Image width 240 mm, 1.00 mm slice spacing.
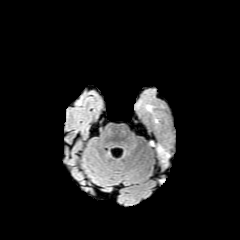
FLAIR MRI.
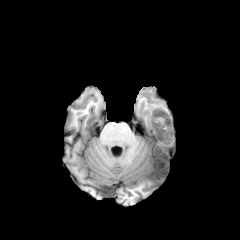
T1-weighted magnetic resonance.
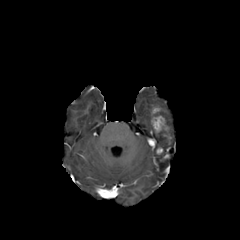
Same slice, post-contrast T1-weighted MRI.
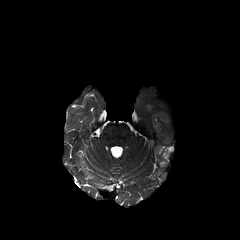
Same slice, T2-weighted MR.
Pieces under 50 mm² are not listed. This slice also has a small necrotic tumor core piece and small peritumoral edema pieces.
Findings:
- enhancing tumor: <bbox>156, 146, 169, 161</bbox>, <bbox>151, 114, 168, 132</bbox>